Axial view, Slice index 110, Head
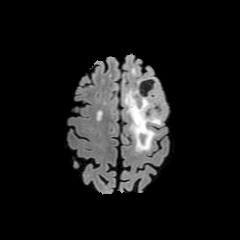
FLAIR MRI.
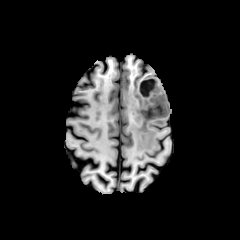
T1-weighted MR.
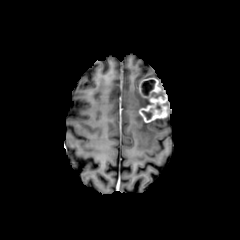
Post-contrast T1-weighted MRI.
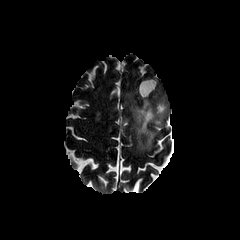
T2-weighted MR.
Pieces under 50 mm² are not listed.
{"peritumoral_edema": ["(x1=124, y1=89, x2=163, y2=151)"], "necrotic_tumor_core": ["(x1=143, y1=80, x2=154, y2=94)"], "enhancing_tumor": ["(x1=139, y1=78, x2=169, y2=122)"]}